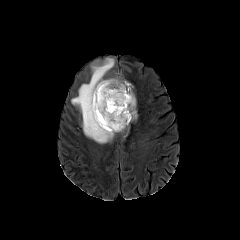
FLAIR MR image.
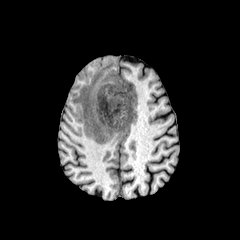
T1-weighted MR image.
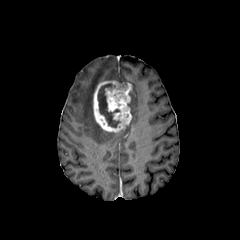
Post-contrast T1-weighted MRI.
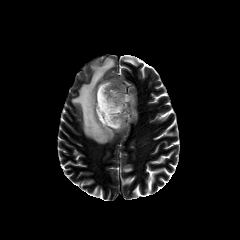
T2-weighted MR of the same slice.
Head
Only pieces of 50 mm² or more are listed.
The 2 largest peritumoral edema regions are located at 71:58:114:143, 128:92:137:119. The necrotic tumor core is at 98:83:120:127. The enhancing tumor is bounded by 93:80:131:132.